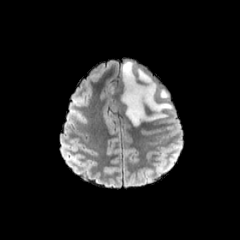
FLAIR MR.
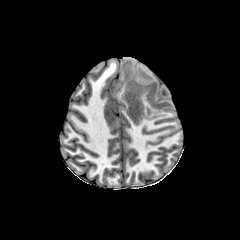
T1-weighted MRI.
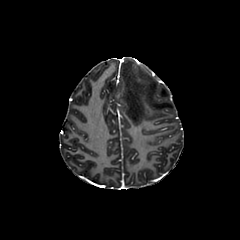
Post-contrast T1-weighted MRI.
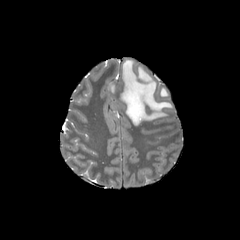
T2-weighted magnetic resonance.
Brain | Image size 240x240 | Axial slice
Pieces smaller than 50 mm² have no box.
The 2 largest peritumoral edema regions appear at l=160, t=89, r=168, b=97; l=121, t=60, r=172, b=125.